FLAIR MR image.
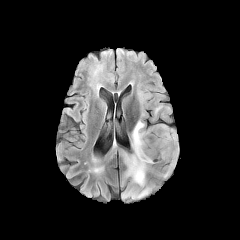
T1-weighted MR image.
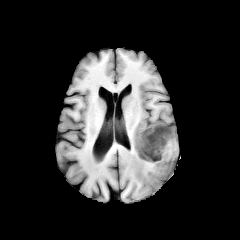
Post-contrast T1-weighted MRI.
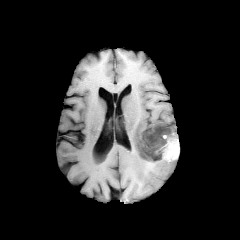
T2-weighted magnetic resonance.
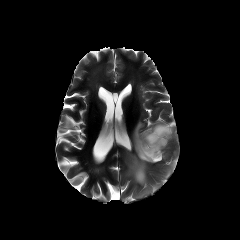
Axial view; Brain
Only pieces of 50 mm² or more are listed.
The necrotic tumor core is bounded by 140,126,173,159. The 4 largest peritumoral edema regions appear at 133,187,149,197; 169,127,178,148; 163,159,176,177; 124,119,157,186. The largest enhancing tumor region is located at 139,125,178,161.